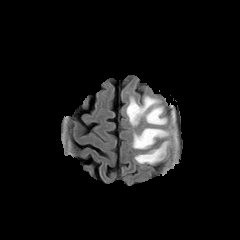
FLAIR magnetic resonance.
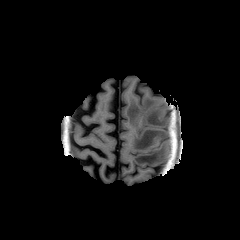
T1-weighted MR image.
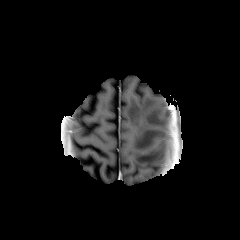
Post-contrast T1-weighted MRI of the same slice.
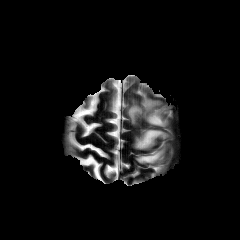
T2-weighted MR image of the same slice.
Axial view.
3 peritumoral edema regions are located at [126, 96, 170, 125], [133, 128, 168, 149], [135, 141, 167, 164].